FLAIR MR image.
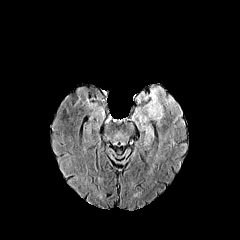
T1-weighted magnetic resonance.
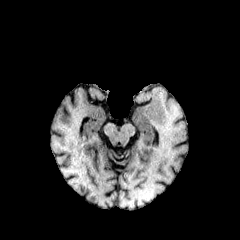
Post-contrast T1-weighted MR.
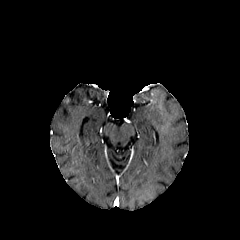
T2-weighted MR.
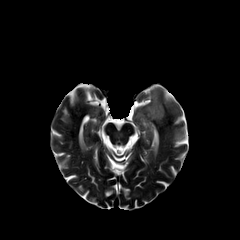
Head; Axial view
The peritumoral edema is bounded by (left=147, top=89, right=162, bottom=120).